Brain, Image width 240 mm, 1.00 mm slice spacing, 240x240, Axial plane
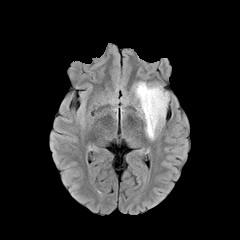
FLAIR MR image.
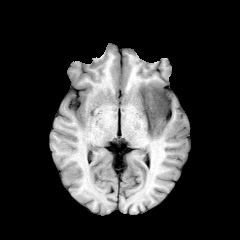
T1-weighted MR image.
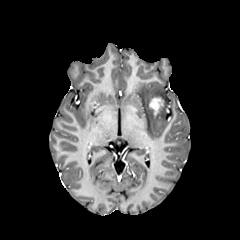
Same slice, post-contrast T1-weighted magnetic resonance.
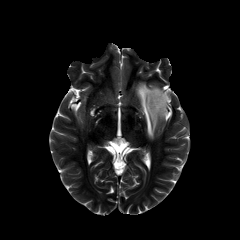
T2-weighted MR of the same slice.
{
  "enhancing_tumor": [
    "149 97 163 115"
  ],
  "peritumoral_edema": [
    "134 82 169 139"
  ]
}